240x240 px | Brain | Slice 119/155
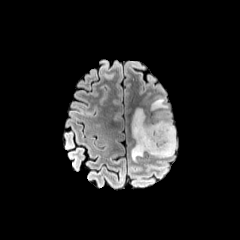
FLAIR MR image.
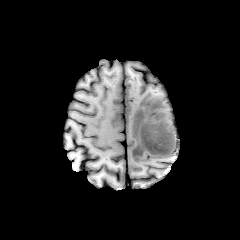
T1-weighted magnetic resonance.
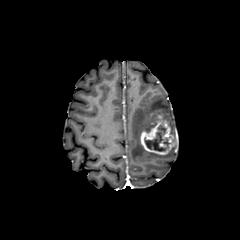
Post-contrast T1-weighted MR.
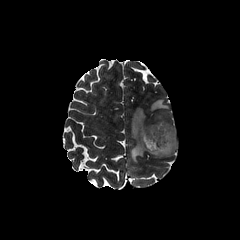
T2-weighted MR.
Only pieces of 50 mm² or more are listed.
{
  "necrotic_tumor_core": [
    "<bbox>144, 124, 169, 151</bbox>"
  ],
  "peritumoral_edema": [
    "<bbox>131, 98, 176, 162</bbox>"
  ],
  "enhancing_tumor": [
    "<bbox>140, 115, 177, 154</bbox>"
  ]
}